Slice 59 of 155; Axial plane; 240x240; Head
FLAIR MR image.
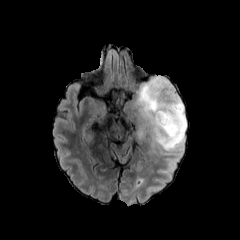
T1-weighted MRI.
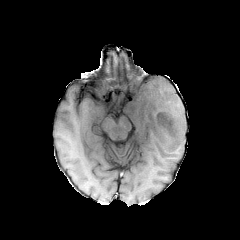
Post-contrast T1-weighted MR image.
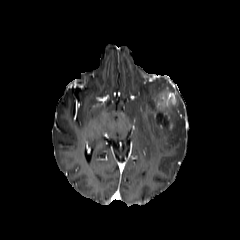
T2-weighted MR image.
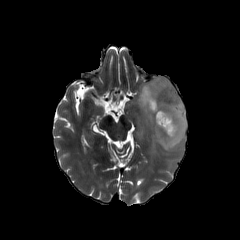
necrotic tumor core: 157:112:167:125 | enhancing tumor: 153:91:177:132 | peritumoral edema: 132:76:186:151